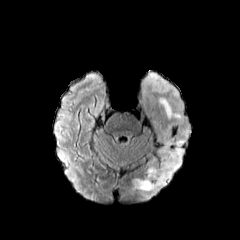
FLAIR MR.
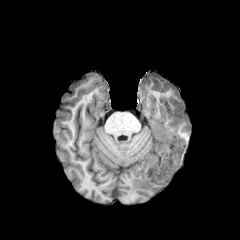
T1-weighted MR of the same slice.
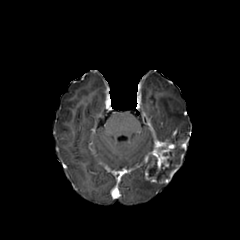
Post-contrast T1-weighted MRI.
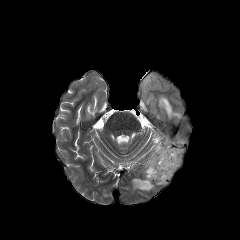
T2-weighted MRI.
Head | Axial slice | 240x240 px
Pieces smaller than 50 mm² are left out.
enhancing tumor: 145, 140, 186, 183 | necrotic tumor core: 173, 145, 181, 156; 148, 159, 175, 181 | peritumoral edema: 132, 171, 166, 191; 160, 130, 187, 142; 159, 98, 182, 119